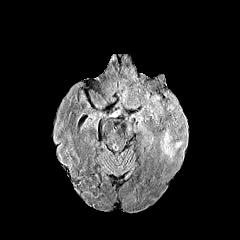
FLAIR MR.
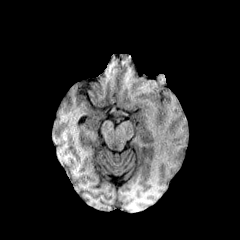
Same slice, T1-weighted MRI.
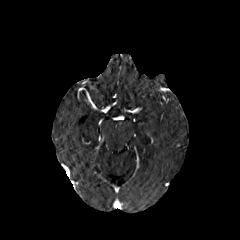
Post-contrast T1-weighted MR image.
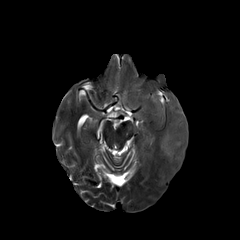
Same slice, T2-weighted MR.
Brain.
- peritumoral edema: region(161, 136, 171, 154)